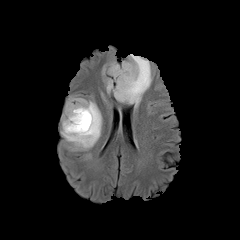
FLAIR MRI.
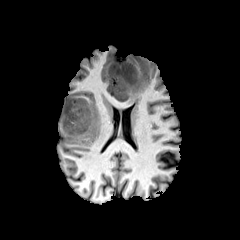
T1-weighted MRI.
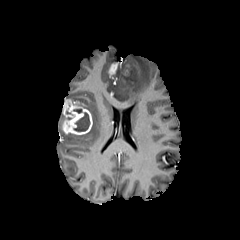
Post-contrast T1-weighted MRI of the same slice.
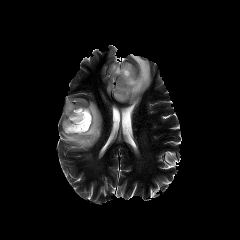
T2-weighted MR image of the same slice.
Head; Axial slice
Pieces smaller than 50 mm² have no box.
enhancing_tumor:
  - bbox(108, 63, 117, 75)
  - bbox(62, 99, 92, 134)
  - bbox(123, 65, 129, 75)
peritumoral_edema:
  - bbox(102, 54, 152, 106)
  - bbox(61, 97, 102, 150)
necrotic_tumor_core:
  - bbox(74, 112, 89, 131)